Axial view
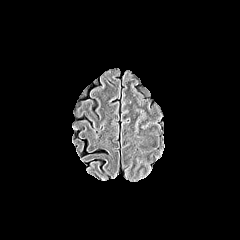
FLAIR MRI.
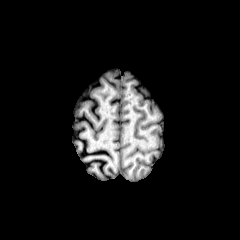
T1-weighted MR.
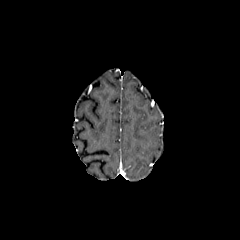
Post-contrast T1-weighted MRI.
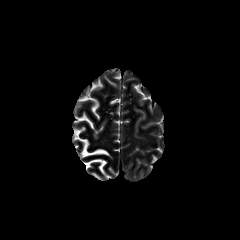
T2-weighted MR.
{
  "peritumoral_edema": [
    "141 121 153 128",
    "134 108 146 133"
  ]
}